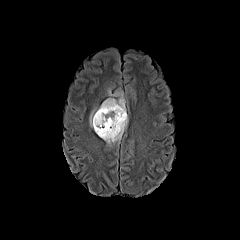
FLAIR magnetic resonance.
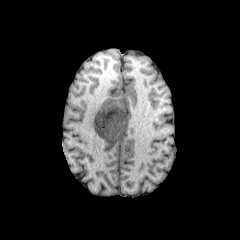
T1-weighted MR image.
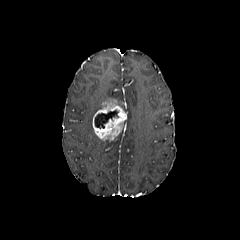
Post-contrast T1-weighted MRI of the same slice.
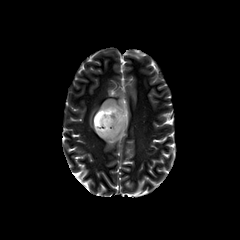
T2-weighted magnetic resonance.
Head, 240x240
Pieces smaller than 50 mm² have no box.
<segmentation>
  <peritumoral_edema>x1=108 y1=90 x2=125 y2=111, x1=106 y1=128 x2=123 y2=144, x1=89 y1=105 x2=101 y2=127</peritumoral_edema>
  <necrotic_tumor_core>x1=94 y1=110 x2=118 y2=128</necrotic_tumor_core>
  <enhancing_tumor>x1=92 y1=98 x2=126 y2=141</enhancing_tumor>
</segmentation>